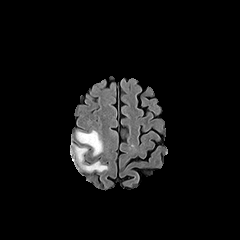
FLAIR MR image.
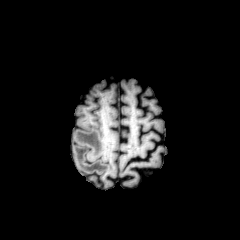
Same slice, T1-weighted magnetic resonance.
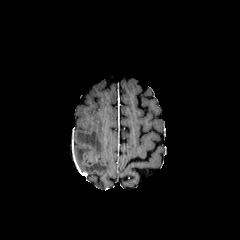
Post-contrast T1-weighted magnetic resonance of the same slice.
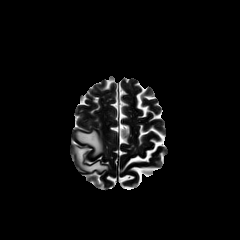
T2-weighted magnetic resonance of the same slice.
Head
Segmented structures:
- peritumoral edema: box(76, 130, 103, 155); box(75, 146, 107, 171)